FLAIR magnetic resonance.
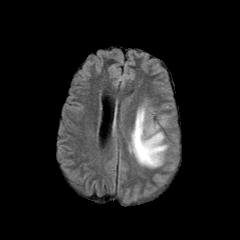
T1-weighted MR.
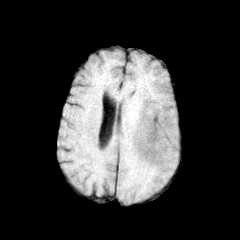
Post-contrast T1-weighted MR image.
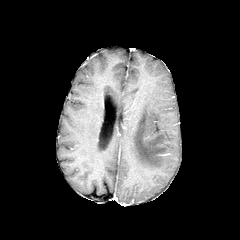
T2-weighted magnetic resonance.
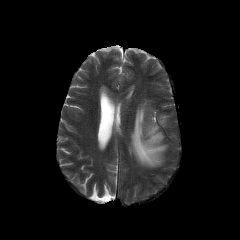
Axial slice. Brain. 240x240 px.
2 peritumoral edema regions appear at (160,116,167,126), (129,104,167,167).